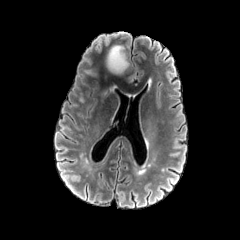
FLAIR magnetic resonance.
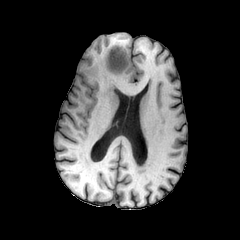
Same slice, T1-weighted MR.
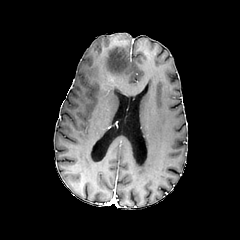
Post-contrast T1-weighted magnetic resonance of the same slice.
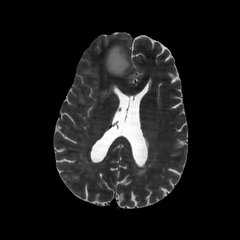
Same slice, T2-weighted MRI.
Axial slice
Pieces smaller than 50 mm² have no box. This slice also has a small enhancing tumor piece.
peritumoral edema: rect(104, 81, 114, 94); rect(106, 45, 129, 74)